Head
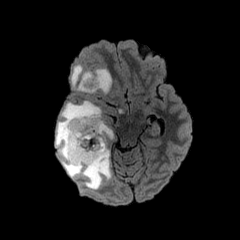
FLAIR MRI.
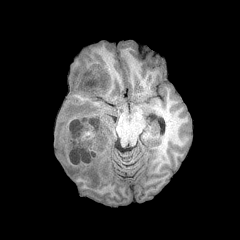
T1-weighted MR of the same slice.
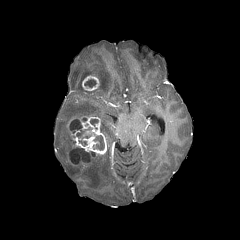
Same slice, post-contrast T1-weighted magnetic resonance.
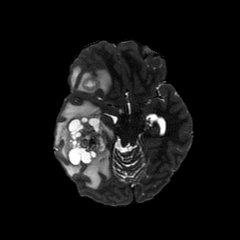
Same slice, T2-weighted MR.
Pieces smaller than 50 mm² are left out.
<segmentation>
  <peritumoral_edema>71 65 111 93, 55 100 110 189, 101 120 113 138</peritumoral_edema>
  <necrotic_tumor_core>94 135 104 150, 84 79 96 87, 70 119 91 138, 69 147 95 163</necrotic_tumor_core>
  <enhancing_tumor>82 75 99 91, 67 116 106 160, 67 153 89 165</enhancing_tumor>
</segmentation>